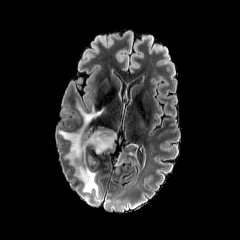
FLAIR MR.
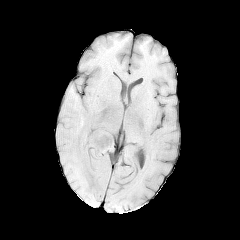
Same slice, T1-weighted MR image.
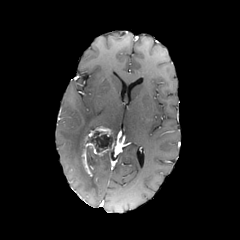
Same slice, post-contrast T1-weighted magnetic resonance.
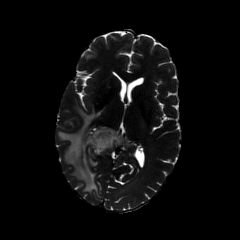
Same slice, T2-weighted MR image.
Brain
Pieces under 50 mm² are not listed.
{"peritumoral_edema": ["(x1=59, y1=106, x2=103, y2=194)"], "enhancing_tumor": ["(x1=82, y1=127, x2=121, y2=176)"], "necrotic_tumor_core": ["(x1=87, y1=131, x2=112, y2=152)"]}